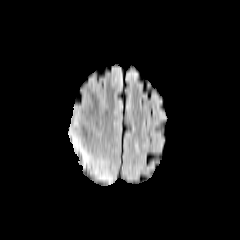
FLAIR magnetic resonance.
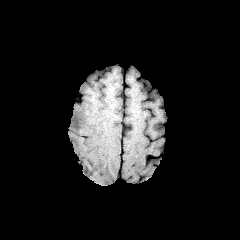
Same slice, T1-weighted magnetic resonance.
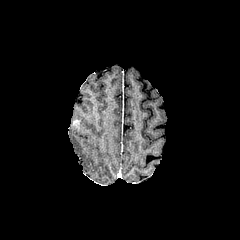
Post-contrast T1-weighted MRI of the same slice.
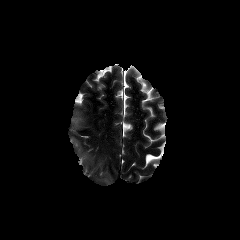
T2-weighted MRI.
240x240; Head
enhancing tumor — 72,115,81,129
peritumoral edema — 69,108,111,183